FLAIR MR image.
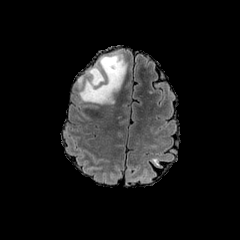
T1-weighted MRI.
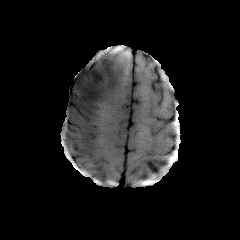
Post-contrast T1-weighted MR image.
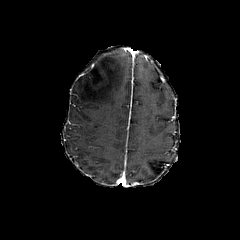
T2-weighted MR.
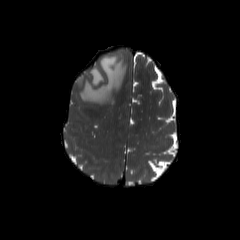
Segmented structures:
• peritumoral edema: 76,53,127,104